FLAIR MR image.
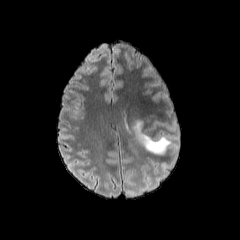
T1-weighted MR.
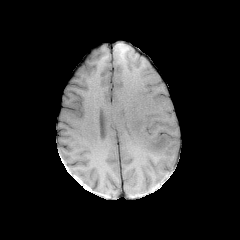
Post-contrast T1-weighted MR.
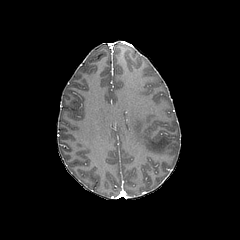
T2-weighted MR.
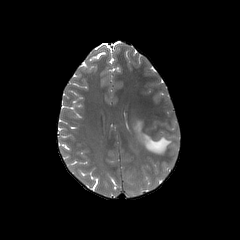
Axial slice. Head.
peritumoral edema: [133,120,171,154]